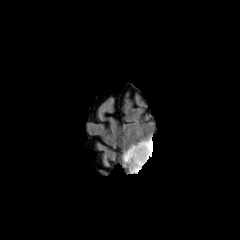
FLAIR MRI.
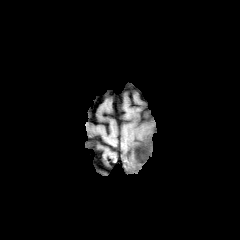
T1-weighted MR image of the same slice.
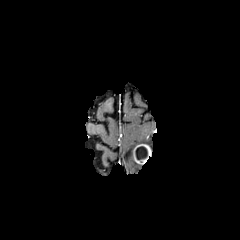
Post-contrast T1-weighted MRI.
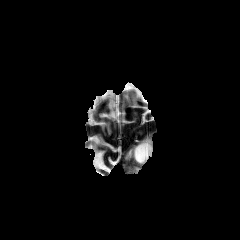
Same slice, T2-weighted MR image.
Axial plane
enhancing tumor: bounding box [133,143,152,164]
necrotic tumor core: bounding box [135,146,147,159]
peritumoral edema: bounding box [124,145,142,173], [138,136,152,150]